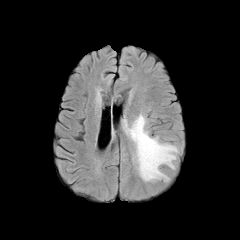
FLAIR magnetic resonance.
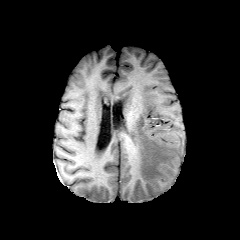
T1-weighted magnetic resonance of the same slice.
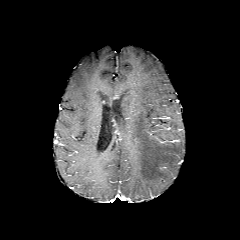
Post-contrast T1-weighted magnetic resonance.
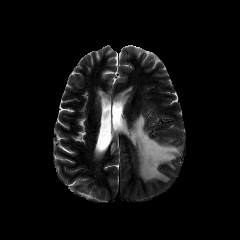
Same slice, T2-weighted magnetic resonance.
Axial view.
Annotated regions:
* peritumoral edema: x1=124 y1=113 x2=181 y2=181